Axial plane. Image width 240 mm, 1.00 mm slice spacing. Brain.
FLAIR MRI.
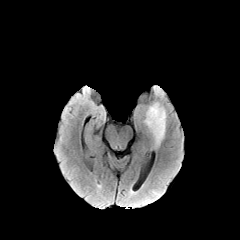
T1-weighted MRI.
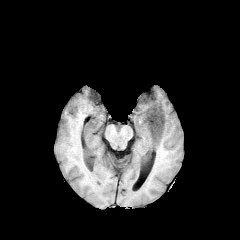
Post-contrast T1-weighted magnetic resonance.
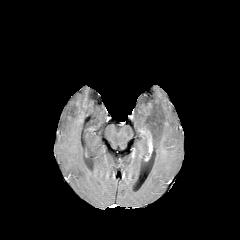
T2-weighted MR.
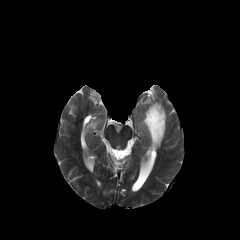
peritumoral edema: rect(144, 103, 166, 146)